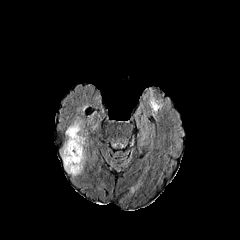
FLAIR MR image.
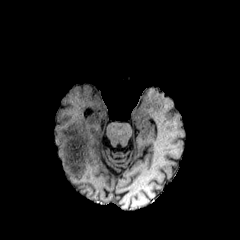
T1-weighted MRI.
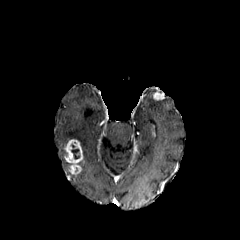
Post-contrast T1-weighted magnetic resonance.
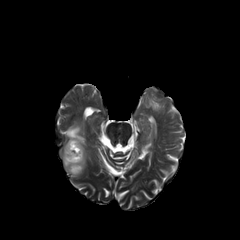
T2-weighted MRI.
Axial view.
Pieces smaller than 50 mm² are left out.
Annotated regions:
• necrotic tumor core: l=69, t=142, r=80, b=160
• peritumoral edema: l=61, t=121, r=86, b=175
• enhancing tumor: l=64, t=138, r=82, b=162; l=71, t=165, r=79, b=175